FLAIR MR image.
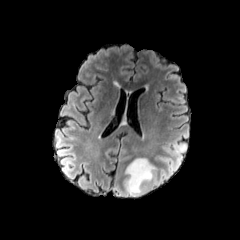
T1-weighted MRI.
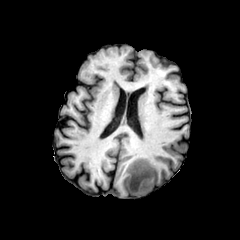
Post-contrast T1-weighted MRI.
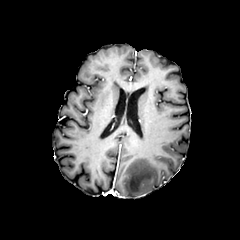
T2-weighted magnetic resonance.
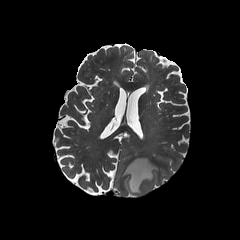
240x240.
peritumoral edema at bbox(124, 158, 157, 196)